Slice 97 of 155, Image size 240x240, Axial view
FLAIR MR.
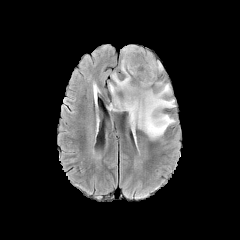
T1-weighted MR image.
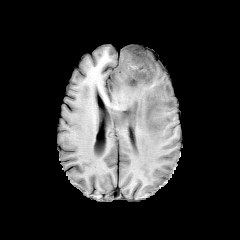
Post-contrast T1-weighted MR.
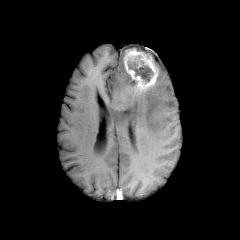
T2-weighted MR image.
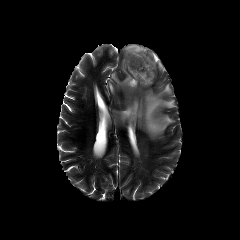
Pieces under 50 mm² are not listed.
The largest necrotic tumor core region lies within 128, 61, 152, 81. 3 peritumoral edema regions are located at 156, 60, 163, 71; 109, 59, 175, 138; 122, 45, 142, 57. The enhancing tumor is bounded by 123, 47, 158, 93.